Slice index 78, Brain
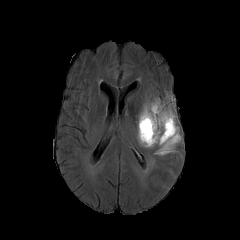
FLAIR MRI.
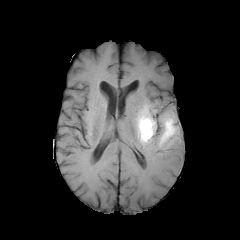
T1-weighted MR image.
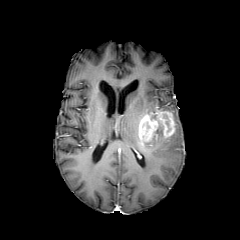
Same slice, post-contrast T1-weighted magnetic resonance.
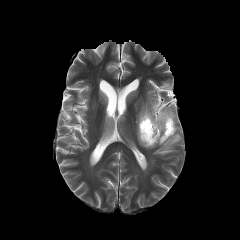
T2-weighted MRI.
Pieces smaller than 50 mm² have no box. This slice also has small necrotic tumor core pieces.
<segmentation>
  <enhancing_tumor>x1=138 y1=105 x2=174 y2=145</enhancing_tumor>
  <peritumoral_edema>x1=138 y1=99 x2=181 y2=155</peritumoral_edema>
</segmentation>